FLAIR MRI.
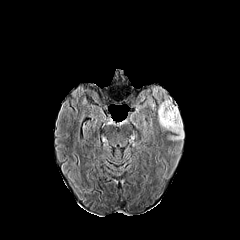
T1-weighted MRI.
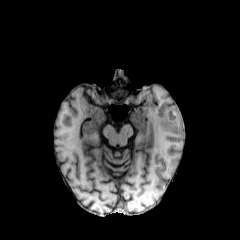
Post-contrast T1-weighted MR.
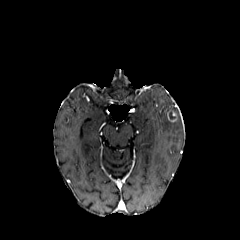
T2-weighted MR image.
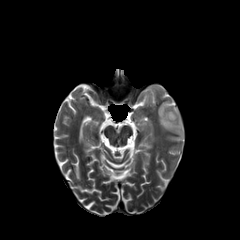
Axial slice | Head | Image size 240x240
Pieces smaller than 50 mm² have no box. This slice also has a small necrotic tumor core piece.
{
  "enhancing_tumor": [
    "167:111:176:121"
  ],
  "peritumoral_edema": [
    "158:98:183:140"
  ]
}